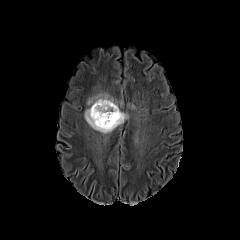
FLAIR MR.
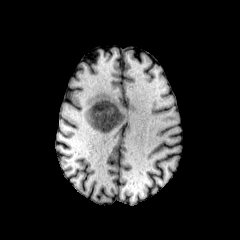
T1-weighted MR.
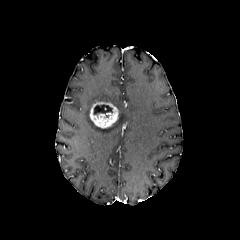
Post-contrast T1-weighted MR.
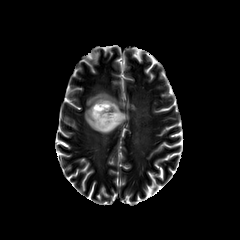
T2-weighted magnetic resonance of the same slice.
240x240
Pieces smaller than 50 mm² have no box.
necrotic tumor core: [94,104,112,114] | peritumoral edema: [84,107,128,134], [87,92,118,108] | enhancing tumor: [89,101,118,128]